Image width 240 mm | Head | 240x240 px
FLAIR MR image.
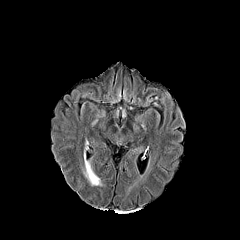
T1-weighted MR.
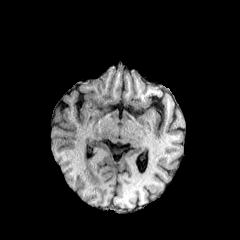
Post-contrast T1-weighted magnetic resonance.
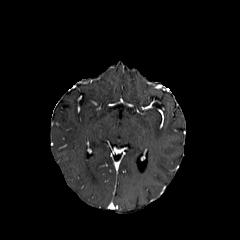
T2-weighted MR.
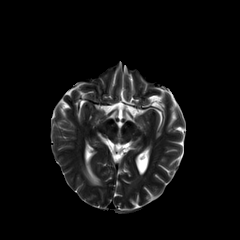
peritumoral edema: {"x1": 84, "y1": 155, "x2": 101, "y2": 185}